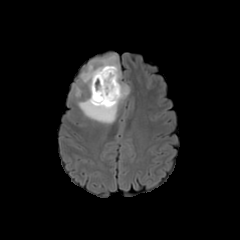
FLAIR MR.
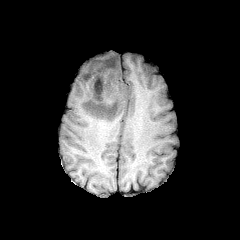
T1-weighted magnetic resonance.
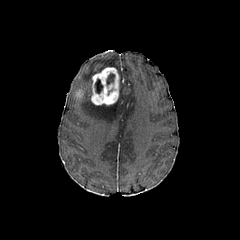
Post-contrast T1-weighted magnetic resonance.
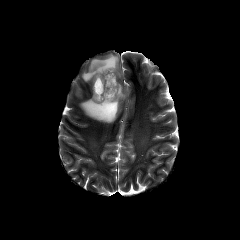
T2-weighted MRI of the same slice.
240x240 px | Head | Axial slice
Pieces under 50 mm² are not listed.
peritumoral edema: {"x1": 81, "y1": 54, "x2": 121, "y2": 95}, {"x1": 78, "y1": 82, "x2": 129, "y2": 123} | enhancing tumor: {"x1": 91, "y1": 67, "x2": 119, "y2": 105}, {"x1": 75, "y1": 89, "x2": 82, "y2": 97} | necrotic tumor core: {"x1": 107, "y1": 73, "x2": 114, "y2": 85}, {"x1": 95, "y1": 79, "x2": 102, "y2": 93}